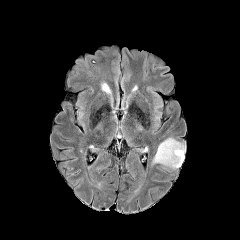
FLAIR magnetic resonance.
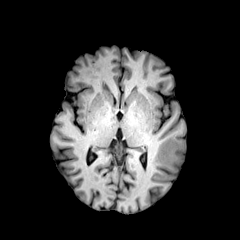
T1-weighted MR.
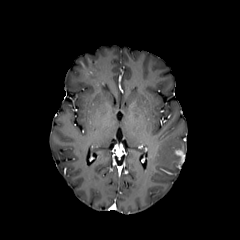
Same slice, post-contrast T1-weighted magnetic resonance.
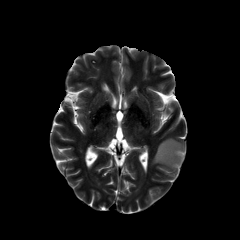
T2-weighted MRI.
Findings:
- peritumoral edema: l=152, t=138, r=185, b=168
- enhancing tumor: l=175, t=148, r=184, b=168